Head | Slice 68/155
FLAIR MR image.
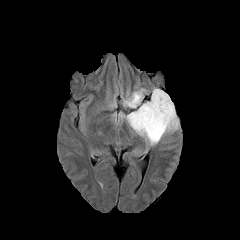
T1-weighted MR.
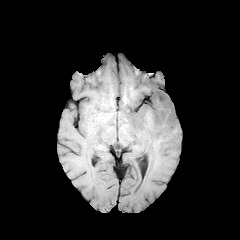
Post-contrast T1-weighted MR.
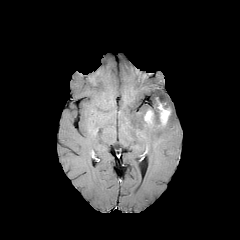
T2-weighted MR image.
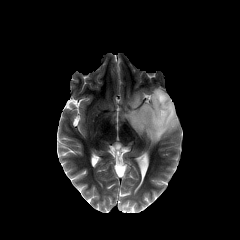
peritumoral edema = l=121, t=88, r=179, b=145; l=124, t=89, r=145, b=108
enhancing tumor = l=144, t=97, r=171, b=125